FLAIR MRI.
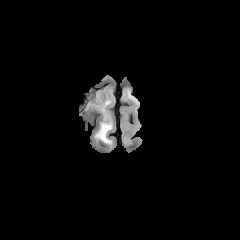
T1-weighted MR image.
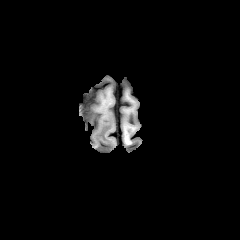
Post-contrast T1-weighted magnetic resonance.
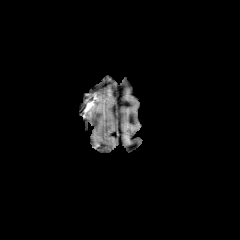
T2-weighted MR image.
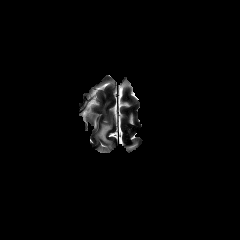
Head
peritumoral edema — 92:87:112:144
enhancing tumor — 85:102:93:111